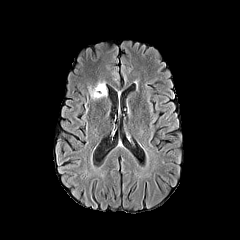
FLAIR magnetic resonance.
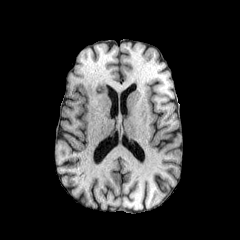
T1-weighted MR image.
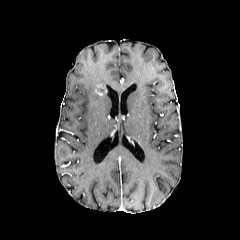
Post-contrast T1-weighted MR image.
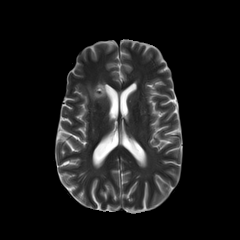
T2-weighted MR image.
Axial slice
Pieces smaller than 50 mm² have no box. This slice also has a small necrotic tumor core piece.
The largest peritumoral edema region is bounded by [89, 86, 106, 99]. The enhancing tumor is bounded by [95, 84, 106, 96].